FLAIR MR image.
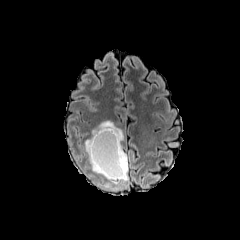
T1-weighted MR.
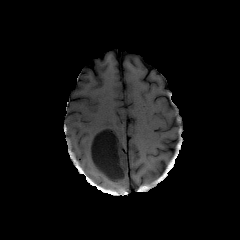
Post-contrast T1-weighted MRI.
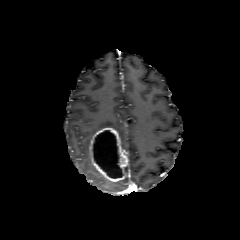
T2-weighted MR image.
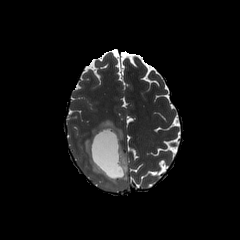
240x240 px
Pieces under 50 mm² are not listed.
<segmentation>
  <necrotic_tumor_core>box=[93, 130, 123, 178]</necrotic_tumor_core>
  <peritumoral_edema>box=[112, 165, 128, 184]; box=[84, 120, 123, 179]</peritumoral_edema>
  <enhancing_tumor>box=[89, 127, 128, 181]</enhancing_tumor>
</segmentation>